FLAIR MR.
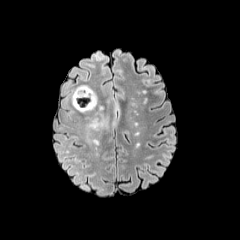
T1-weighted MRI.
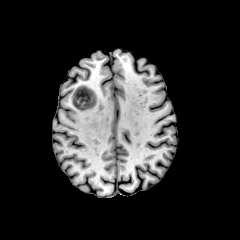
Post-contrast T1-weighted MR.
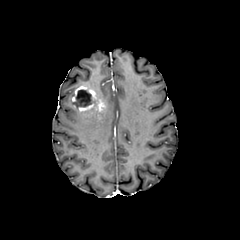
T2-weighted MRI.
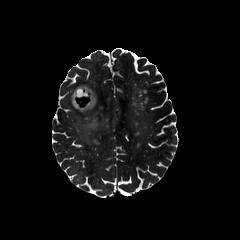
240x240
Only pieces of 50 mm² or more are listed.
The enhancing tumor appears at {"x1": 72, "y1": 86, "x2": 104, "y2": 111}. The 2 largest peritumoral edema regions are located at {"x1": 69, "y1": 87, "x2": 77, "y2": 107}, {"x1": 78, "y1": 108, "x2": 109, "y2": 141}. The necrotic tumor core appears at {"x1": 75, "y1": 89, "x2": 94, "y2": 107}.